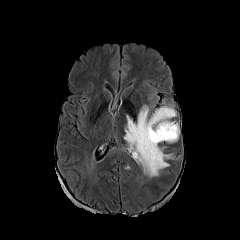
FLAIR MR image.
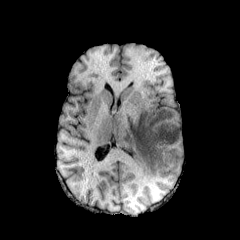
T1-weighted MRI.
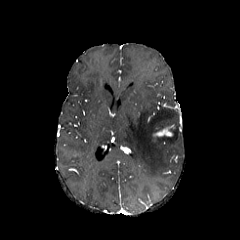
Post-contrast T1-weighted MR image.
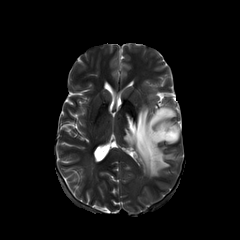
T2-weighted MRI.
Brain.
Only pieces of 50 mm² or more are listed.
<segmentation>
  <enhancing_tumor>left=153, top=125, right=174, bottom=136</enhancing_tumor>
  <peritumoral_edema>left=124, top=105, right=179, bottom=177</peritumoral_edema>
</segmentation>